Axial slice. Image size 240x240. Brain. Image width 240 mm, 1.00 mm slice spacing.
FLAIR MRI.
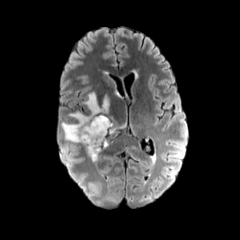
T1-weighted MRI.
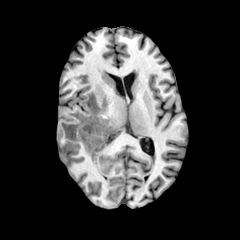
Post-contrast T1-weighted MRI.
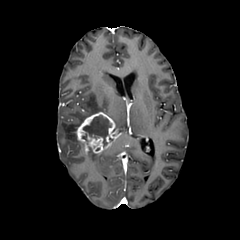
T2-weighted MR image.
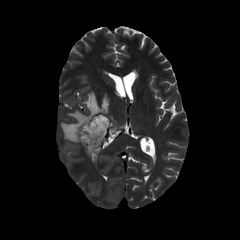
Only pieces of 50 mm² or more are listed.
The largest necrotic tumor core region is located at box(82, 115, 111, 147). The enhancing tumor is at box(75, 112, 118, 153). 2 peritumoral edema regions are located at box(61, 92, 109, 143); box(87, 152, 98, 161).